Slice 91 of 155; Image size 240x240
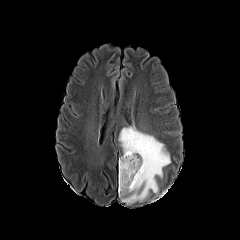
FLAIR MRI.
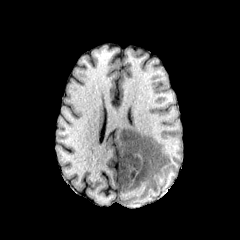
Same slice, T1-weighted magnetic resonance.
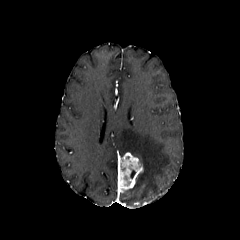
Post-contrast T1-weighted MR.
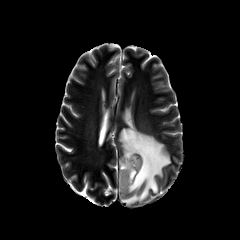
Same slice, T2-weighted MR image.
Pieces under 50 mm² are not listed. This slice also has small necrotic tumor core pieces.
The enhancing tumor lies within 118 152 143 192. The peritumoral edema lies within 118 127 170 203.